Image width 240 mm | Image size 240x240 | Slice 80 of 155
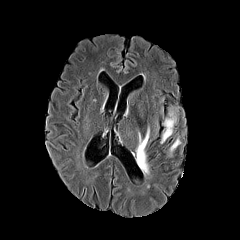
FLAIR MRI.
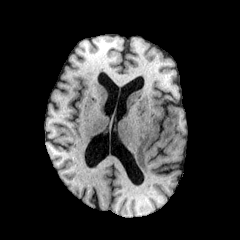
T1-weighted magnetic resonance of the same slice.
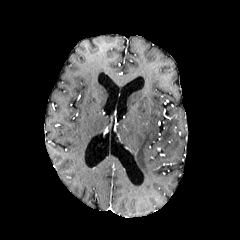
Post-contrast T1-weighted MR image.
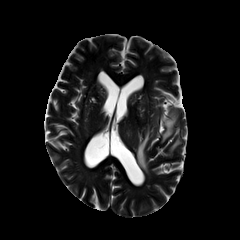
T2-weighted MRI of the same slice.
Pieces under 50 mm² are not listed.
Annotated regions:
* peritumoral edema: 170, 139, 180, 151; 136, 128, 149, 173; 161, 118, 175, 143